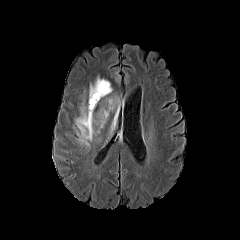
FLAIR MR.
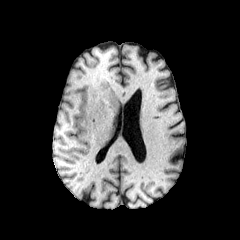
T1-weighted MRI.
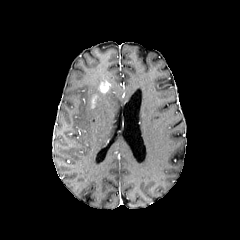
Post-contrast T1-weighted magnetic resonance.
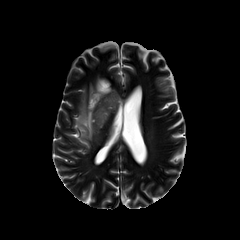
Same slice, T2-weighted MR image.
Brain, Axial view
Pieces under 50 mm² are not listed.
enhancing tumor — [91, 94, 97, 108], [98, 80, 110, 93]
peritumoral edema — [75, 77, 115, 141]